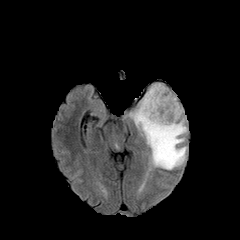
FLAIR magnetic resonance.
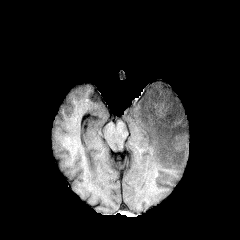
T1-weighted MR.
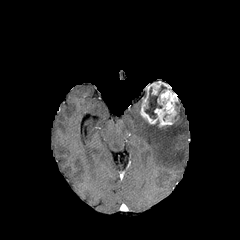
Post-contrast T1-weighted magnetic resonance.
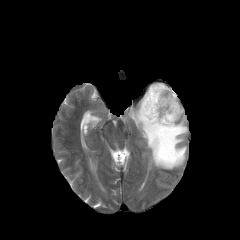
T2-weighted MR image of the same slice.
Head
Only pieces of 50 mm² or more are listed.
peritumoral edema — <bbox>128, 99, 187, 169</bbox>
necrotic tumor core — <bbox>145, 85, 166, 118</bbox>
enhancing tumor — <bbox>140, 81, 180, 127</bbox>